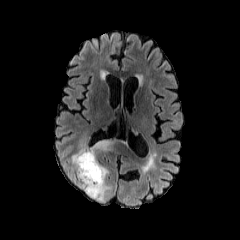
FLAIR MR image.
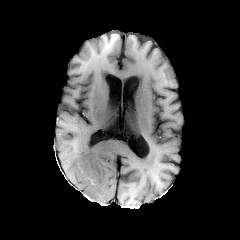
Same slice, T1-weighted magnetic resonance.
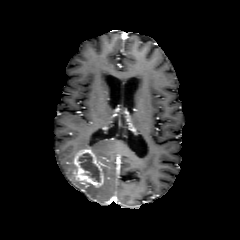
Post-contrast T1-weighted MR image.
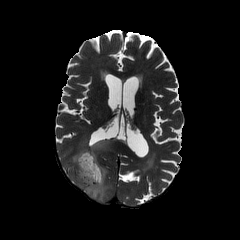
T2-weighted MR.
{
  "peritumoral_edema": [
    "68, 153, 111, 201",
    "79, 139, 113, 156"
  ],
  "necrotic_tumor_core": [
    "78, 153, 99, 181"
  ],
  "enhancing_tumor": [
    "73, 149, 103, 187"
  ]
}